FLAIR MR.
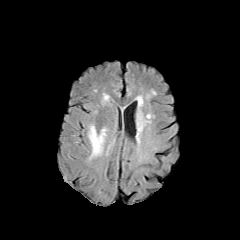
T1-weighted MR.
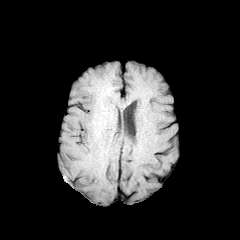
Post-contrast T1-weighted magnetic resonance.
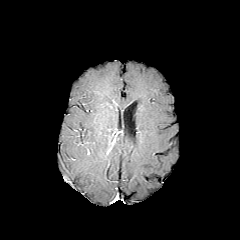
T2-weighted MR image.
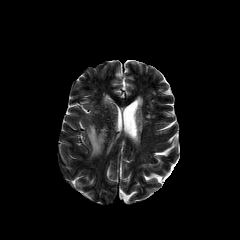
Axial slice | 240x240
<segmentation>
  <peritumoral_edema>(88, 125, 106, 158)</peritumoral_edema>
</segmentation>